FLAIR magnetic resonance.
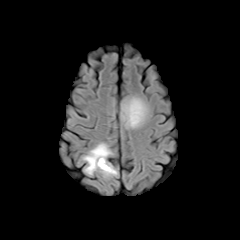
T1-weighted MRI.
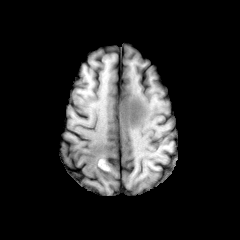
Post-contrast T1-weighted MR.
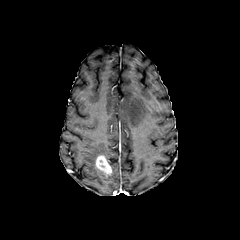
T2-weighted MRI.
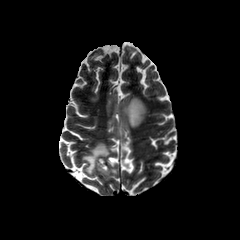
240x240 px. Brain. Axial slice.
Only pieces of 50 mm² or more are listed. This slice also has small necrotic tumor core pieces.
Findings:
- peritumoral edema: 122:97:147:127, 83:143:111:174, 99:163:117:176
- enhancing tumor: 95:155:111:175